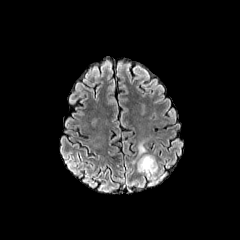
FLAIR MRI.
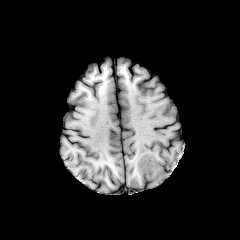
Same slice, T1-weighted MRI.
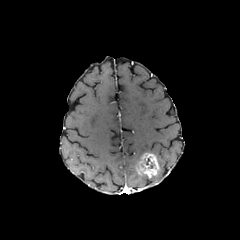
Post-contrast T1-weighted magnetic resonance of the same slice.
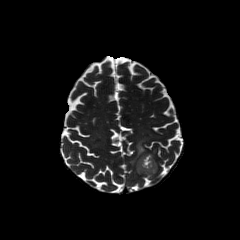
T2-weighted MR.
Axial plane
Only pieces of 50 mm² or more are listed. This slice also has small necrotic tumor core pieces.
The enhancing tumor lies within bbox(137, 153, 159, 177). The largest peritumoral edema region appears at bbox(138, 142, 146, 161).